Brain.
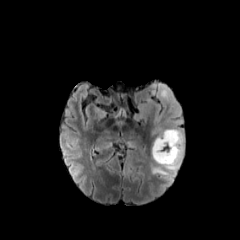
FLAIR MR.
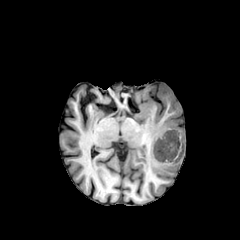
T1-weighted MR of the same slice.
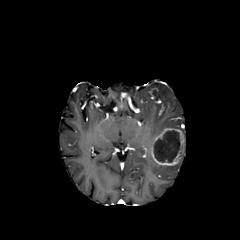
Post-contrast T1-weighted MR.
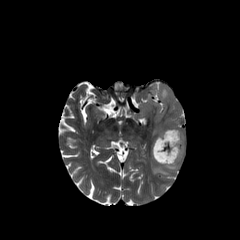
Same slice, T2-weighted MR image.
peritumoral edema — region(151, 159, 181, 179); region(134, 82, 184, 136)
enhancing tumor — region(151, 128, 184, 165)
necrotic tumor core — region(154, 130, 180, 162)